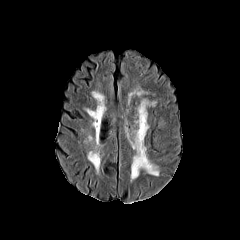
FLAIR MRI.
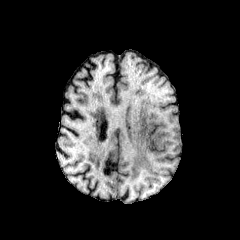
Same slice, T1-weighted MR image.
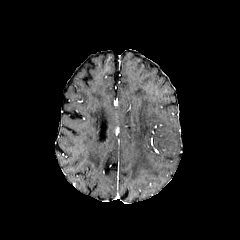
Post-contrast T1-weighted MR.
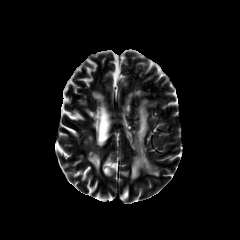
T2-weighted MR image of the same slice.
Head. 240x240.
Findings:
- peritumoral edema: bbox=[130, 100, 159, 180]